FLAIR MRI.
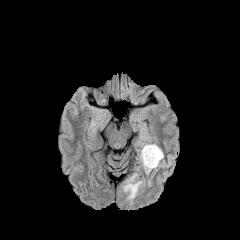
T1-weighted MR image.
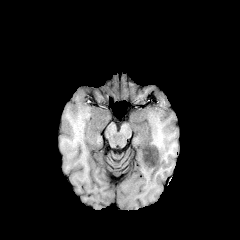
Post-contrast T1-weighted magnetic resonance.
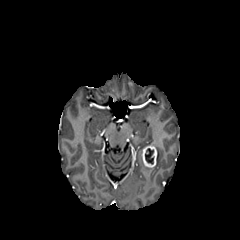
T2-weighted MRI.
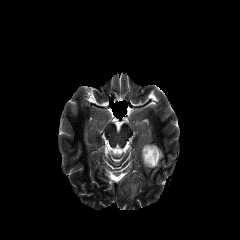
Axial slice | Image size 240x240
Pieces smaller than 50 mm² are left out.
<segmentation>
  <peritumoral_edema><bbox>123, 174, 142, 199</bbox>, <bbox>140, 144, 163, 173</bbox></peritumoral_edema>
  <necrotic_tumor_core><bbox>145, 148, 153, 164</bbox></necrotic_tumor_core>
  <enhancing_tumor><bbox>142, 145, 157, 167</bbox></enhancing_tumor>
</segmentation>